FLAIR magnetic resonance.
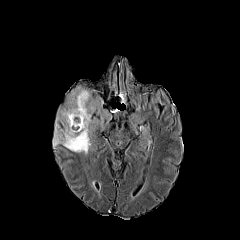
T1-weighted MR image.
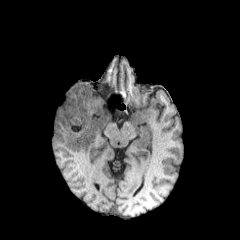
Post-contrast T1-weighted magnetic resonance.
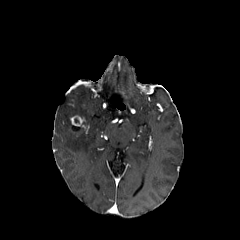
T2-weighted MR image.
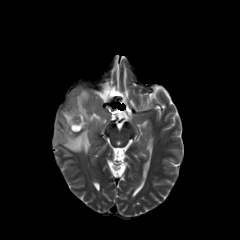
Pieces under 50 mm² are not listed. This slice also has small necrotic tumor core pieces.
enhancing tumor: bounding box rect(70, 115, 86, 128)
peritumoral edema: bounding box rect(53, 85, 111, 154)